FLAIR MR image.
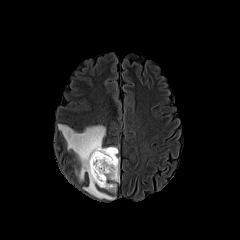
T1-weighted MR image.
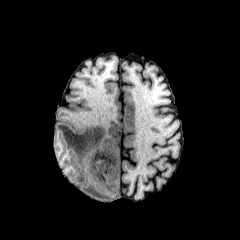
Post-contrast T1-weighted magnetic resonance.
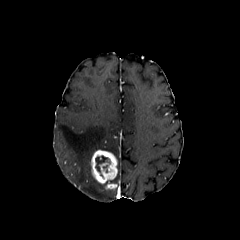
T2-weighted MR.
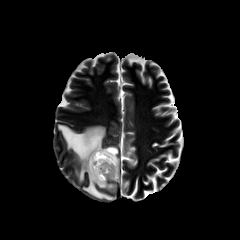
Axial slice, Head
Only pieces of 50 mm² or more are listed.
necrotic_tumor_core:
  - <box>95,156,107,172</box>
enhancing_tumor:
  - <box>90,149,117,190</box>
peritumoral_edema:
  - <box>58,124,119,199</box>